Slice index 100; Image width 240 mm; Axial plane
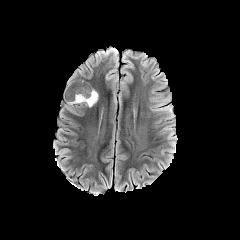
FLAIR MRI.
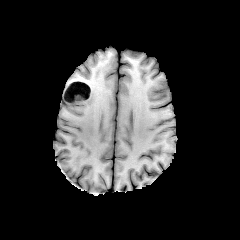
T1-weighted MRI.
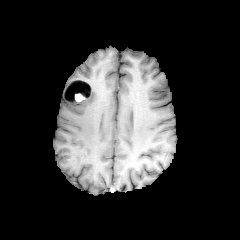
Post-contrast T1-weighted MR.
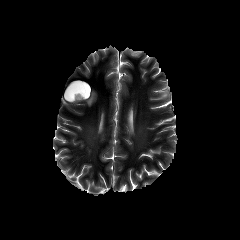
T2-weighted MR.
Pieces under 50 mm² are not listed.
Findings:
* necrotic tumor core: box(66, 81, 90, 100)
* peritumoral edema: box(69, 90, 97, 106)
* enhancing tumor: box(63, 79, 91, 102)